Brain. Image width 240 mm.
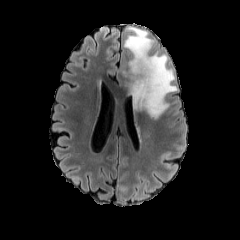
FLAIR magnetic resonance.
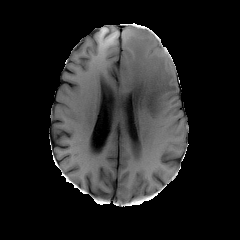
Same slice, T1-weighted MRI.
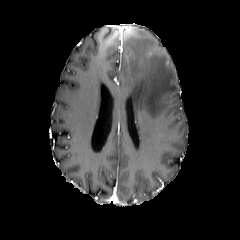
Same slice, post-contrast T1-weighted MRI.
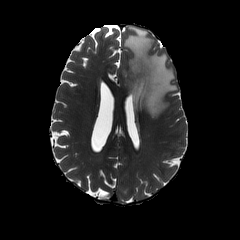
T2-weighted MR image.
<segmentation>
  <peritumoral_edema>x1=123 y1=26 x2=177 y2=119</peritumoral_edema>
</segmentation>